240x240 px, Slice 120/155, Image covers 240 mm x 240 mm, Axial slice
FLAIR MRI.
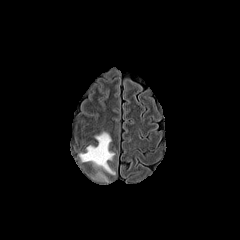
T1-weighted MR.
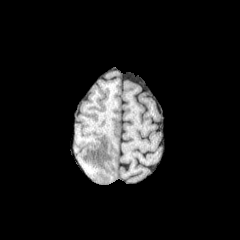
Post-contrast T1-weighted MRI.
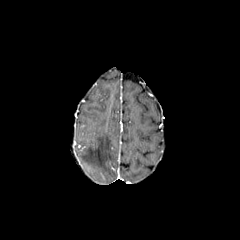
T2-weighted MR image.
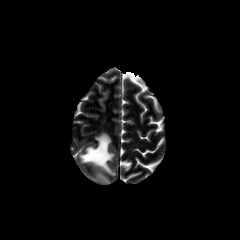
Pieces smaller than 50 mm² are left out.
peritumoral edema at [79,132,115,174]